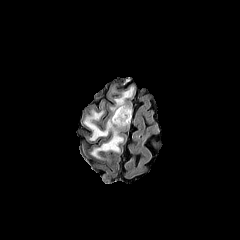
FLAIR MR.
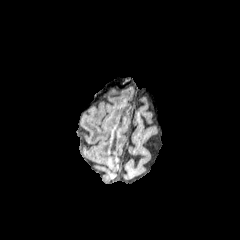
Same slice, T1-weighted MR image.
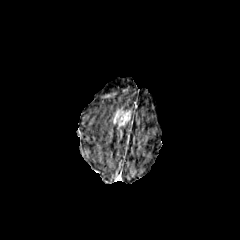
Post-contrast T1-weighted MR of the same slice.
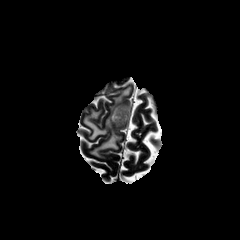
T2-weighted magnetic resonance.
Axial slice. Brain.
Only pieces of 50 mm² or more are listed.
enhancing tumor: bounding box [x1=112, y1=107, x2=131, y2=128]
peritumoral edema: bounding box [x1=84, y1=111, x2=122, y2=159], [x1=111, y1=88, x2=133, y2=114]